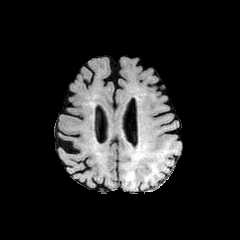
FLAIR magnetic resonance.
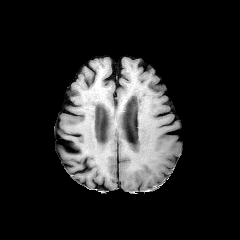
T1-weighted MR.
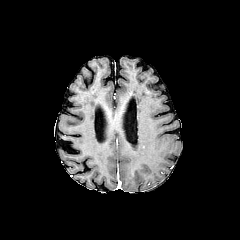
Same slice, post-contrast T1-weighted MR image.
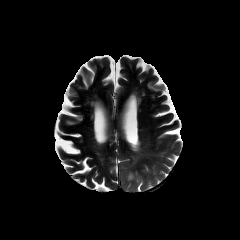
T2-weighted MR of the same slice.
Axial plane
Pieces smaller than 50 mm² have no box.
peritumoral edema: (x1=128, y1=163, x2=135, y2=181)